Slice 96/155.
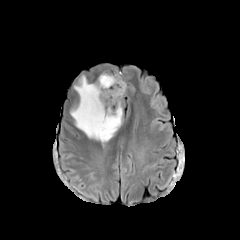
FLAIR MRI.
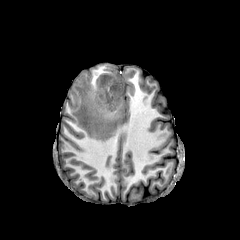
Same slice, T1-weighted MRI.
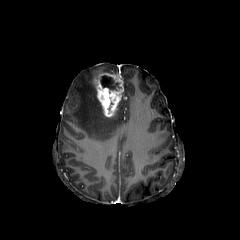
Post-contrast T1-weighted MRI.
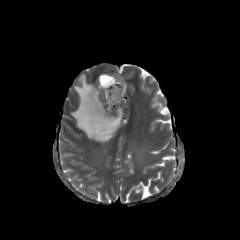
T2-weighted MRI.
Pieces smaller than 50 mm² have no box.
enhancing tumor: 95, 73, 124, 117 | necrotic tumor core: 101, 75, 119, 90 | peritumoral edema: 70, 74, 123, 142